FLAIR MRI.
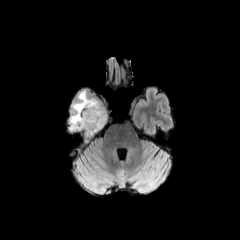
T1-weighted MRI.
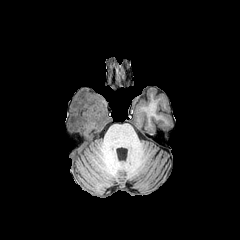
Post-contrast T1-weighted MR.
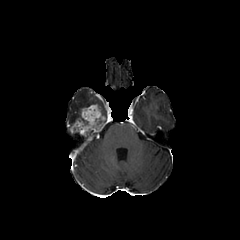
T2-weighted MR.
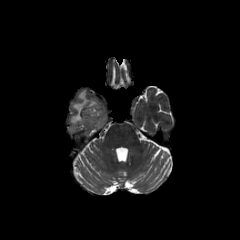
240x240
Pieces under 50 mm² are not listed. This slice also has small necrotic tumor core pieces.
Annotated regions:
- enhancing tumor: 71, 104, 105, 134
- peritumoral edema: 69, 89, 105, 131